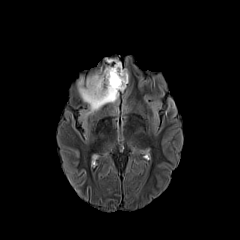
FLAIR MR.
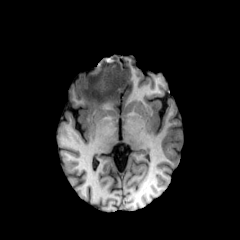
T1-weighted MRI.
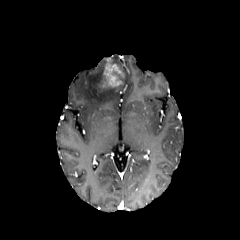
Post-contrast T1-weighted MR.
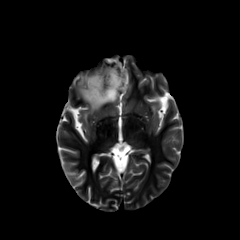
T2-weighted MRI.
Axial view. Head. 240x240.
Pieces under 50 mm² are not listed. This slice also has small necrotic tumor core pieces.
The enhancing tumor is bounded by box=[102, 63, 124, 88]. The largest peritumoral edema region is located at box=[77, 58, 128, 112].